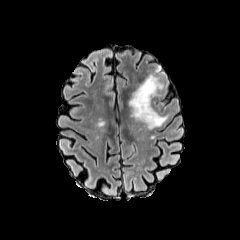
FLAIR MRI.
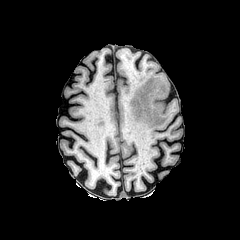
T1-weighted MR image.
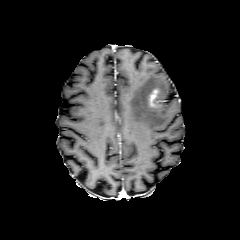
Post-contrast T1-weighted magnetic resonance.
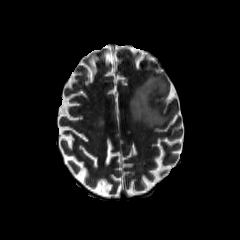
T2-weighted magnetic resonance.
Head. 240x240. Axial slice.
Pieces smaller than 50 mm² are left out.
peritumoral edema — (129,65,167,128)
enhancing tumor — (148,89,161,107)